Axial view. 240x240.
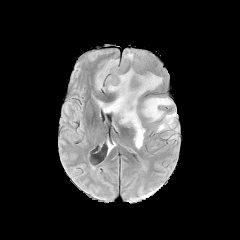
FLAIR MRI.
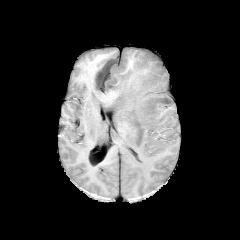
T1-weighted MR.
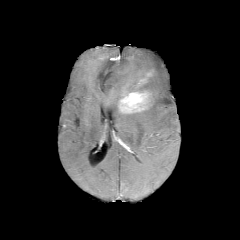
Post-contrast T1-weighted MR.
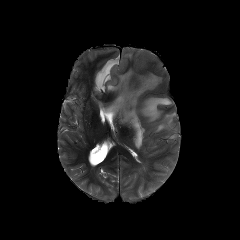
T2-weighted MRI of the same slice.
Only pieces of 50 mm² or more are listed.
enhancing tumor at bbox=[118, 92, 151, 113]
peritumoral edema at bbox=[95, 48, 177, 148]